FLAIR magnetic resonance.
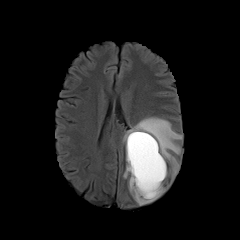
T1-weighted magnetic resonance.
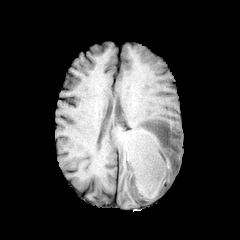
Post-contrast T1-weighted MR image.
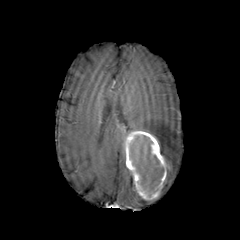
T2-weighted magnetic resonance.
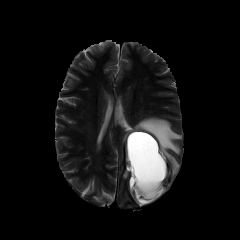
Head.
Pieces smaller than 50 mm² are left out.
necrotic tumor core: bbox(130, 135, 164, 196) | enhancing tumor: bbox(125, 131, 166, 200) | peritumoral edema: bbox(123, 167, 154, 205); bbox(122, 117, 182, 177)